FLAIR MR.
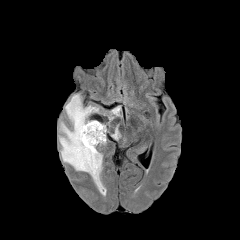
T1-weighted MR.
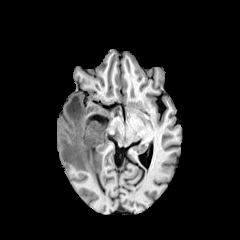
Post-contrast T1-weighted magnetic resonance.
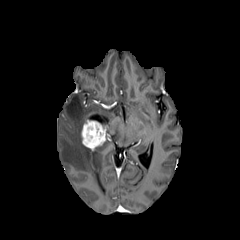
T2-weighted MRI.
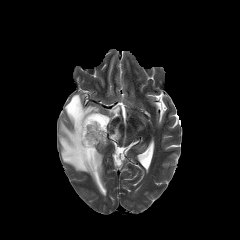
Image size 240x240 | Head
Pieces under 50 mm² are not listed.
Segmented structures:
- peritumoral edema: x1=112, y1=127, x2=120, y2=139; x1=59, y1=94, x2=102, y2=188; x1=109, y1=106, x2=121, y2=120
- enhancing tumor: x1=81, y1=119, x2=106, y2=150